Image width 240 mm, Head, Axial slice, Slice 129 of 155, Image size 240x240
FLAIR MR.
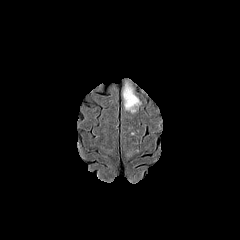
T1-weighted MRI.
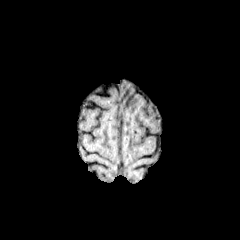
Post-contrast T1-weighted MRI.
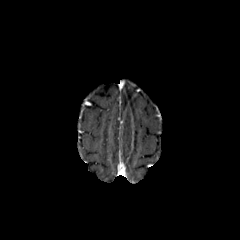
T2-weighted magnetic resonance.
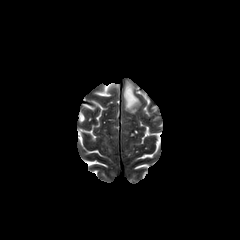
peritumoral edema: box(123, 82, 140, 112)